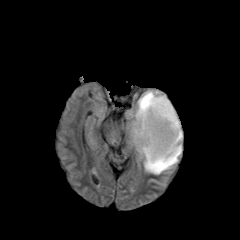
FLAIR magnetic resonance.
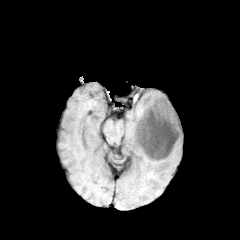
T1-weighted MR image.
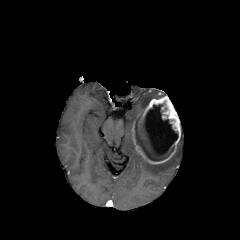
Post-contrast T1-weighted MRI.
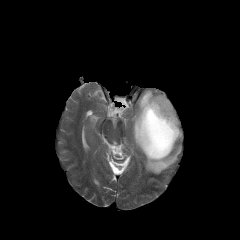
T2-weighted MR image.
Head. 240x240 px. Axial view.
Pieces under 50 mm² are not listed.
peritumoral edema: rect(125, 90, 165, 144); rect(139, 132, 182, 174) | enhancing tumor: rect(132, 96, 181, 164) | necrotic tumor core: rect(134, 104, 178, 161)